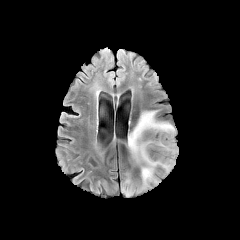
FLAIR MR.
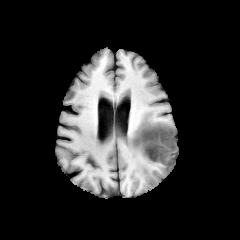
Same slice, T1-weighted magnetic resonance.
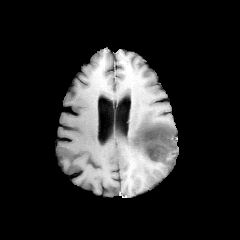
Post-contrast T1-weighted MR image.
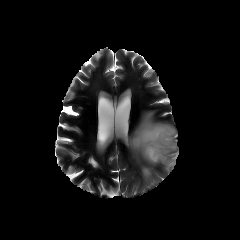
T2-weighted MRI.
Image size 240x240, Axial plane
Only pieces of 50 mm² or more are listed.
enhancing tumor: (136,125,176,164)
peritumoral edema: (127,110,176,187)
necrotic tumor core: (137,126,175,163)